FLAIR MRI.
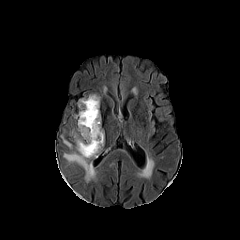
T1-weighted MRI.
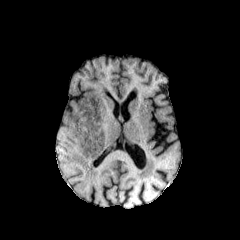
Post-contrast T1-weighted MR.
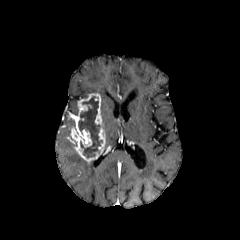
T2-weighted MR image.
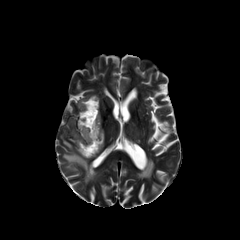
Brain. Axial slice.
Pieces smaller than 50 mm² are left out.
Segmented structures:
- peritumoral edema: box(63, 152, 97, 182); box(61, 135, 72, 149)
- enhancing tumor: box(67, 93, 105, 162)
- necrotic tumor core: box(78, 97, 101, 157)